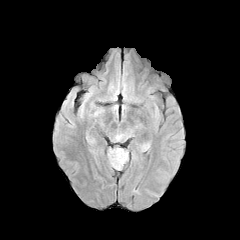
FLAIR MRI.
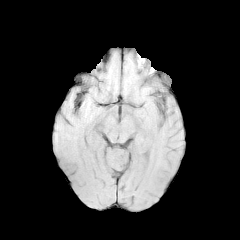
T1-weighted MR image.
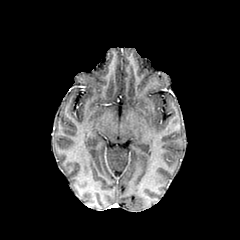
Same slice, post-contrast T1-weighted MR image.
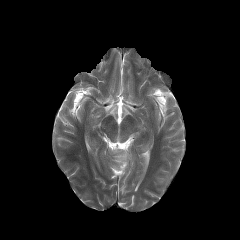
T2-weighted MR image.
Brain; Axial slice; 240x240
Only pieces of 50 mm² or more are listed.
peritumoral edema: bounding box x1=108, y1=148, x2=128, y2=169